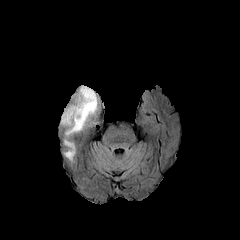
FLAIR magnetic resonance.
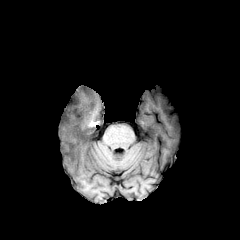
T1-weighted magnetic resonance.
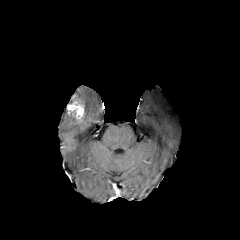
Same slice, post-contrast T1-weighted magnetic resonance.
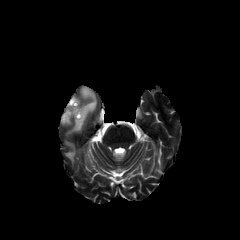
T2-weighted magnetic resonance of the same slice.
Brain
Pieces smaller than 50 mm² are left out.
Annotated regions:
- enhancing tumor: (x1=67, y1=95, x2=84, y2=123)
- peritumoral edema: (x1=60, y1=85, x2=98, y2=135), (x1=65, y1=140, x2=75, y2=161)